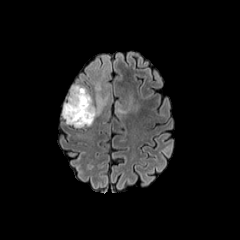
FLAIR magnetic resonance.
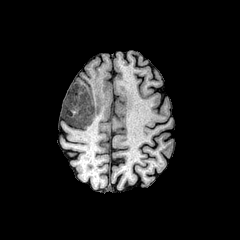
T1-weighted MR of the same slice.
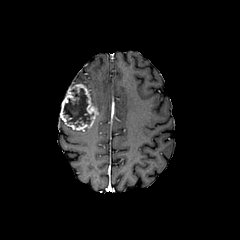
Same slice, post-contrast T1-weighted MR.
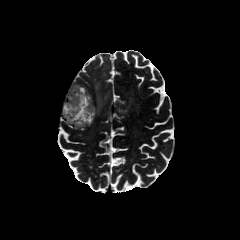
T2-weighted MR.
Image size 240x240
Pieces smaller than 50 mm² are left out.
necrotic tumor core: [63, 88, 93, 126] | enhancing tumor: [60, 84, 98, 129] | peritumoral edema: [94, 59, 108, 114], [117, 101, 131, 113]